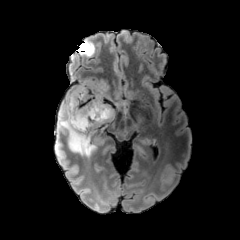
FLAIR MR image.
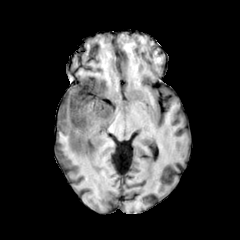
T1-weighted MR.
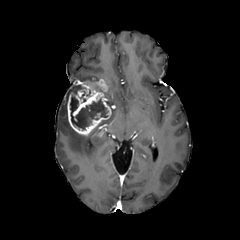
Post-contrast T1-weighted MR image of the same slice.
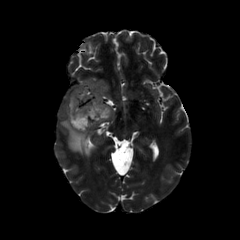
T2-weighted MR image.
Brain; Axial view
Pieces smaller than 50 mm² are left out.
enhancing tumor at (67, 78, 111, 135)
necrotic tumor core at (70, 95, 107, 129)
peritumoral edema at (58, 85, 95, 155)